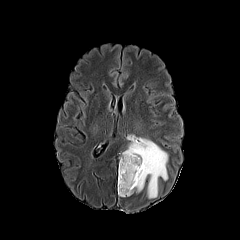
FLAIR MRI.
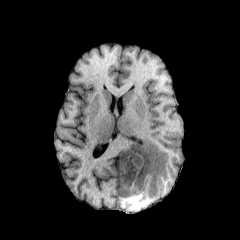
Same slice, T1-weighted MRI.
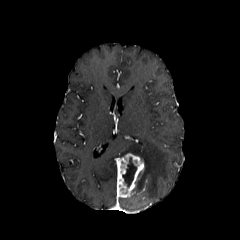
Post-contrast T1-weighted magnetic resonance.
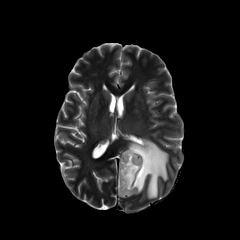
T2-weighted MR.
Brain, Axial slice
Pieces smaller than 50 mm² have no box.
Annotated regions:
- enhancing tumor: (117, 153, 144, 197)
- necrotic tumor core: (122, 157, 136, 187)
- peritumoral edema: (122, 137, 168, 198)